Brain. Axial slice.
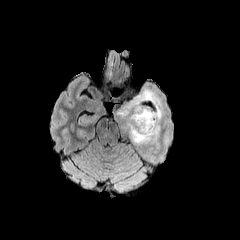
FLAIR MR image.
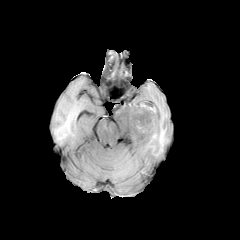
T1-weighted MRI of the same slice.
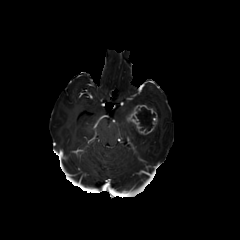
Post-contrast T1-weighted magnetic resonance of the same slice.
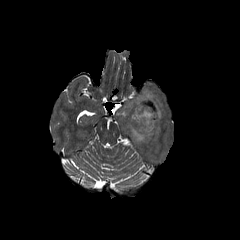
T2-weighted MR image.
The peritumoral edema appears at left=121, top=89, right=162, bottom=144. The necrotic tumor core lies within left=136, top=108, right=154, bottom=130. The enhancing tumor is at left=125, top=104, right=157, bottom=135.